Brain
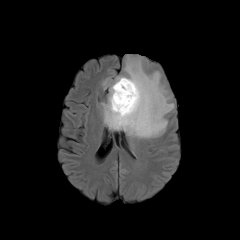
FLAIR MRI.
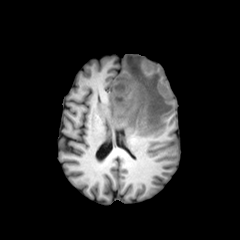
T1-weighted MR image.
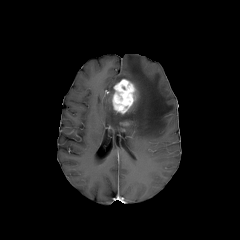
Post-contrast T1-weighted MR of the same slice.
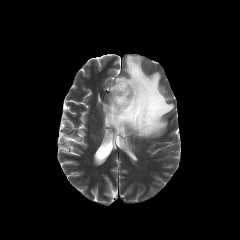
T2-weighted magnetic resonance.
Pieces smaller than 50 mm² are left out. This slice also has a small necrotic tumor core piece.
{
  "peritumoral_edema": [
    "bbox(102, 55, 174, 138)"
  ],
  "enhancing_tumor": [
    "bbox(111, 79, 137, 114)"
  ]
}